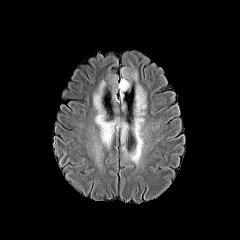
FLAIR MRI.
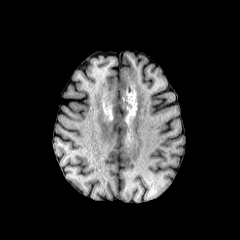
T1-weighted magnetic resonance.
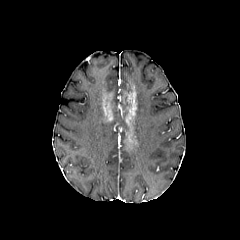
Post-contrast T1-weighted MRI of the same slice.
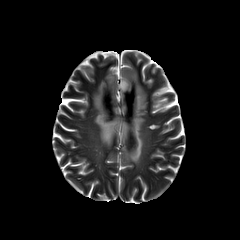
Same slice, T2-weighted magnetic resonance.
Head.
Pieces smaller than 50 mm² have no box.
<segmentation>
  <peritumoral_edema>rect(93, 68, 146, 164)</peritumoral_edema>
</segmentation>